Axial slice; Image covers 240 mm x 240 mm
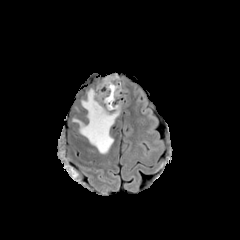
FLAIR MR.
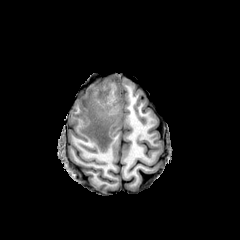
T1-weighted magnetic resonance of the same slice.
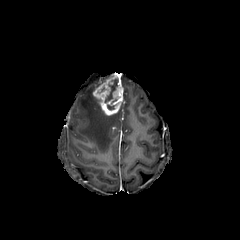
Post-contrast T1-weighted MR image.
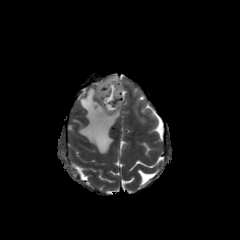
T2-weighted magnetic resonance.
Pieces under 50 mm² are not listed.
The peritumoral edema appears at {"x1": 74, "y1": 88, "x2": 119, "y2": 154}. The largest necrotic tumor core region is located at {"x1": 105, "y1": 78, "x2": 118, "y2": 102}. The enhancing tumor lies within {"x1": 93, "y1": 74, "x2": 123, "y2": 115}.